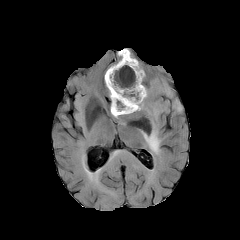
FLAIR MR.
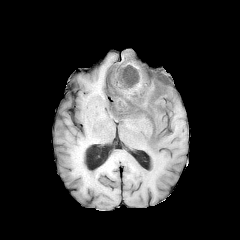
T1-weighted MRI of the same slice.
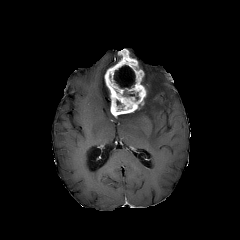
Post-contrast T1-weighted MRI.
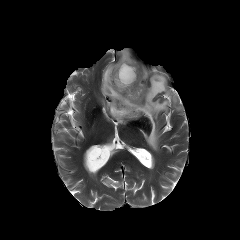
T2-weighted magnetic resonance.
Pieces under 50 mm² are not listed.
The largest necrotic tumor core region is located at [114,65,135,88]. The largest peritumoral edema region is located at [115,76,182,154]. The enhancing tumor is located at [104,49,146,117].